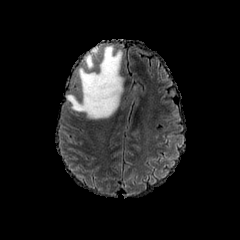
FLAIR magnetic resonance.
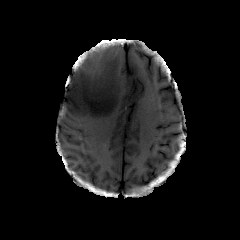
T1-weighted MR image.
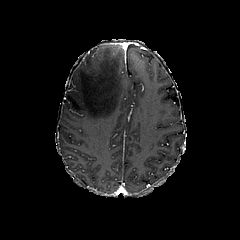
Post-contrast T1-weighted MRI.
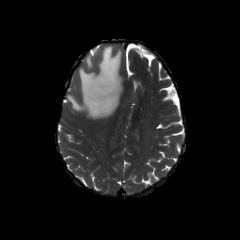
T2-weighted MR.
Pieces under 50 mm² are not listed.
peritumoral edema: 85 53 93 69, 66 45 123 119